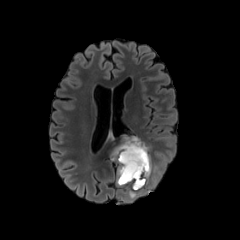
FLAIR magnetic resonance.
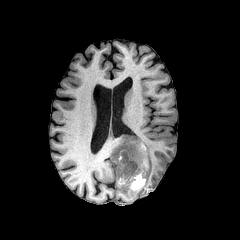
T1-weighted MRI.
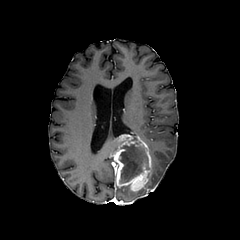
Post-contrast T1-weighted MR.
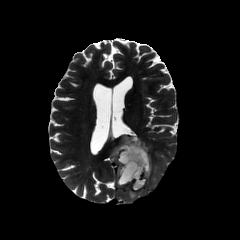
T2-weighted MR image.
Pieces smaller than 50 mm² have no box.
necrotic tumor core: bounding box (left=119, top=144, right=147, bottom=183)
enhancing tumor: bounding box (left=110, top=135, right=151, bottom=191)
peritumoral edema: bounding box (left=128, top=190, right=136, bottom=198), (left=146, top=160, right=160, bottom=188)